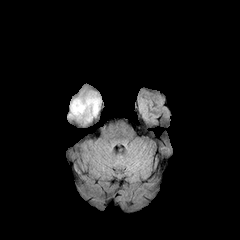
FLAIR magnetic resonance.
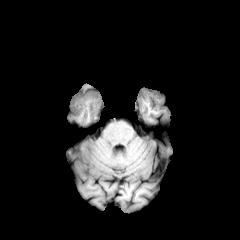
T1-weighted magnetic resonance.
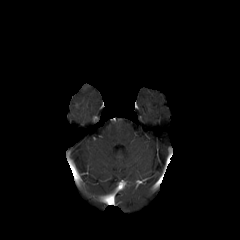
Post-contrast T1-weighted magnetic resonance.
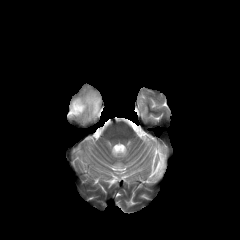
T2-weighted MR image.
The peritumoral edema is bounded by {"x1": 68, "y1": 91, "x2": 101, "y2": 121}. The enhancing tumor is located at {"x1": 72, "y1": 103, "x2": 79, "y2": 114}.